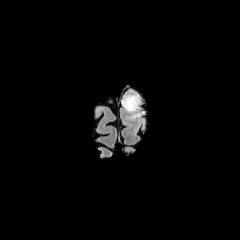
FLAIR magnetic resonance.
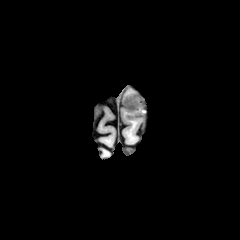
Same slice, T1-weighted MR image.
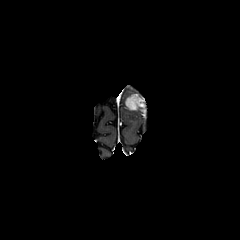
Same slice, post-contrast T1-weighted MRI.
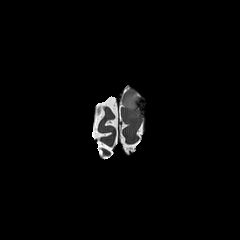
T2-weighted MR image.
Axial slice. Head.
enhancing tumor: <bbox>125, 94, 141, 110</bbox>
peritumoral edema: <bbox>122, 90, 141, 120</bbox>